FLAIR MRI.
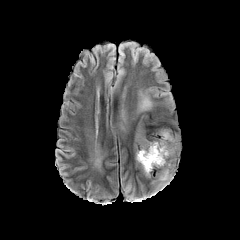
T1-weighted MR.
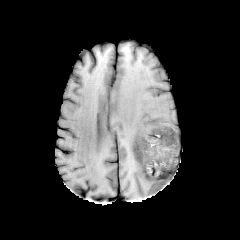
Post-contrast T1-weighted MR image.
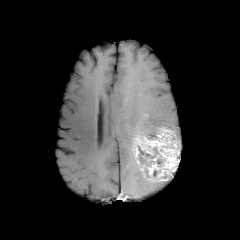
T2-weighted MR image.
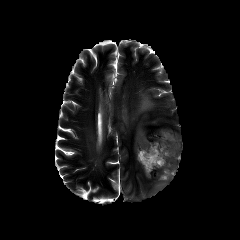
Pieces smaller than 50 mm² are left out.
necrotic tumor core: region(138, 146, 154, 163) | peritumoral edema: region(152, 180, 170, 187) | enhancing tumor: region(133, 128, 179, 182)